Image width 240 mm, 240x240, Slice 122/155, Axial plane
FLAIR MRI.
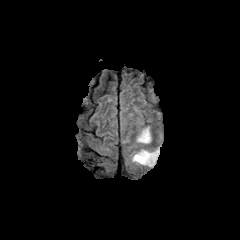
T1-weighted MR.
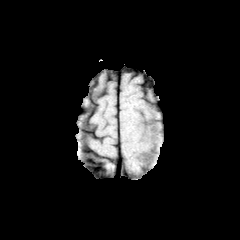
Post-contrast T1-weighted MRI.
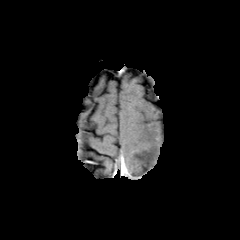
T2-weighted MR image.
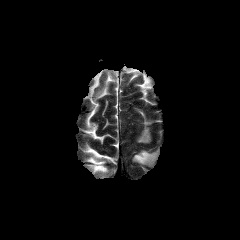
peritumoral edema — x1=132, y1=149, x2=159, y2=166; x1=137, y1=128, x2=150, y2=143